FLAIR magnetic resonance.
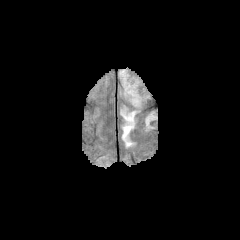
T1-weighted MR.
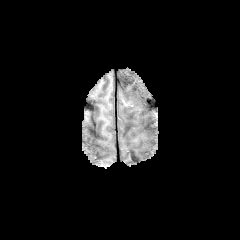
Post-contrast T1-weighted magnetic resonance.
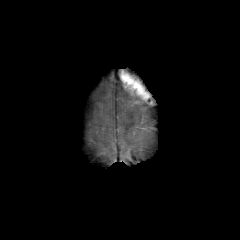
T2-weighted MRI.
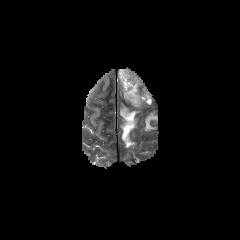
Brain
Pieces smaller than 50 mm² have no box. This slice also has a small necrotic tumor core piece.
The enhancing tumor appears at bbox=[119, 69, 156, 106]. 3 peritumoral edema regions appear at bbox=[123, 89, 148, 108]; bbox=[122, 107, 137, 146]; bbox=[146, 113, 157, 130].